FLAIR magnetic resonance.
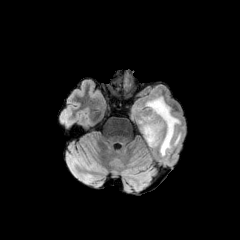
T1-weighted MRI.
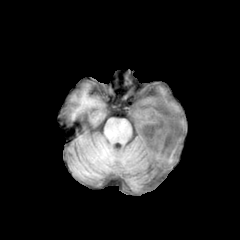
Post-contrast T1-weighted MR.
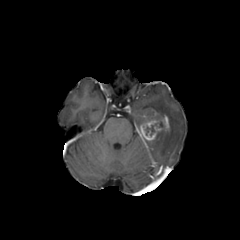
T2-weighted MR.
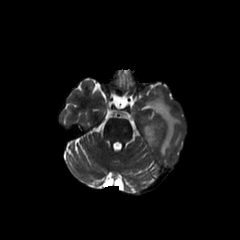
Brain
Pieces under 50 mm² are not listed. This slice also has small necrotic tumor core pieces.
peritumoral_edema:
  - l=145, t=96, r=182, b=156
enhancing_tumor:
  - l=139, t=110, r=169, b=144